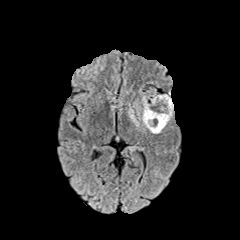
FLAIR MR.
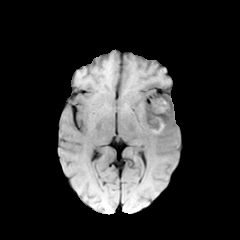
T1-weighted MR of the same slice.
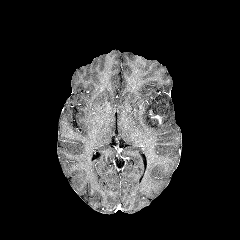
Post-contrast T1-weighted MR of the same slice.
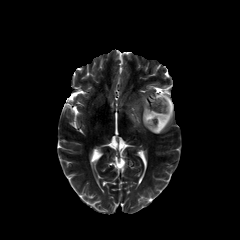
Same slice, T2-weighted magnetic resonance.
Axial view
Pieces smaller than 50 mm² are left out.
peritumoral edema: bounding box region(129, 110, 139, 126); region(138, 94, 173, 133)
enhancing tumor: bounding box region(149, 110, 162, 124)
necrotic tumor core: bounding box region(150, 98, 166, 123); region(148, 114, 160, 127)